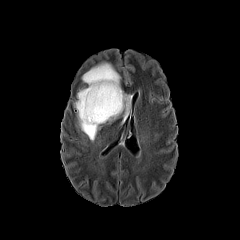
FLAIR magnetic resonance.
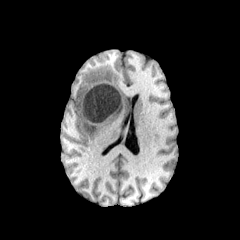
T1-weighted MR.
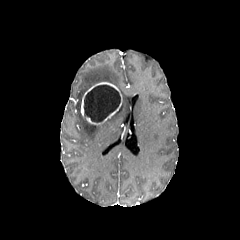
Post-contrast T1-weighted MR image.
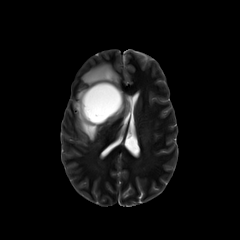
T2-weighted magnetic resonance.
Brain | Axial plane
peritumoral_edema:
  - {"x1": 72, "y1": 60, "x2": 134, "y2": 141}
necrotic_tumor_core:
  - {"x1": 84, "y1": 85, "x2": 120, "y2": 122}
enhancing_tumor:
  - {"x1": 81, "y1": 82, "x2": 122, "y2": 125}